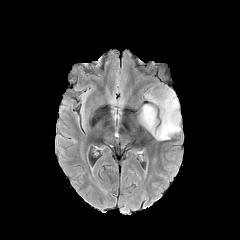
FLAIR MRI.
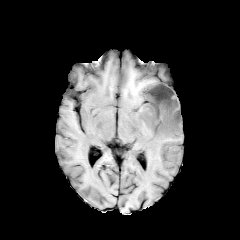
Same slice, T1-weighted MR.
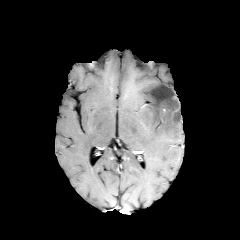
Post-contrast T1-weighted MRI.
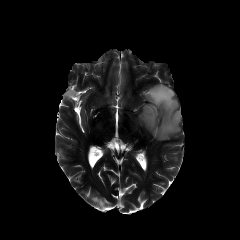
T2-weighted magnetic resonance of the same slice.
240x240 px | Axial slice | Brain
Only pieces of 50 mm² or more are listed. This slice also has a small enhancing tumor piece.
<segmentation>
  <necrotic_tumor_core>[150,85,175,108]</necrotic_tumor_core>
  <peritumoral_edema>[139,87,180,140]</peritumoral_edema>
</segmentation>